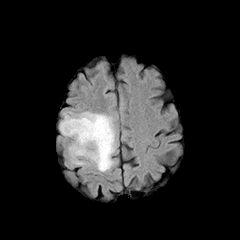
FLAIR MR.
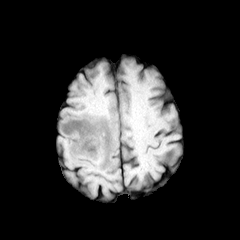
Same slice, T1-weighted MRI.
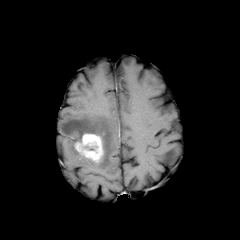
Post-contrast T1-weighted MRI of the same slice.
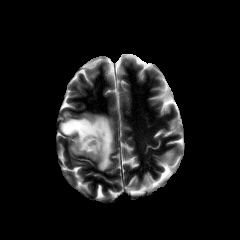
T2-weighted magnetic resonance.
Brain, Axial plane
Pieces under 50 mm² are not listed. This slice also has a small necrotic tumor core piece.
enhancing tumor: left=74, top=133, right=103, bottom=162 | peritumoral edema: left=59, top=112, right=115, bottom=171